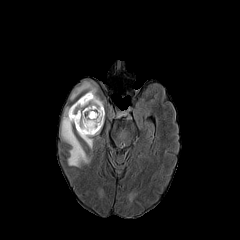
FLAIR MRI.
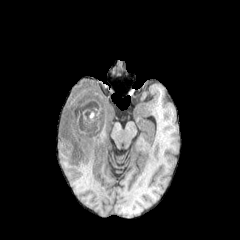
T1-weighted magnetic resonance.
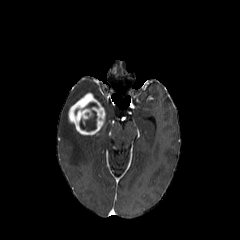
Post-contrast T1-weighted MR.
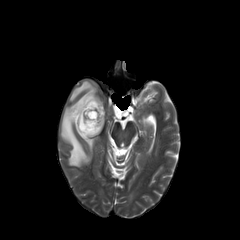
T2-weighted MR image of the same slice.
Head.
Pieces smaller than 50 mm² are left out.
peritumoral_edema:
  - bbox(61, 107, 91, 166)
  - bbox(70, 81, 103, 106)
  - bbox(78, 133, 95, 150)
enhancing_tumor:
  - bbox(68, 92, 105, 135)
necrotic_tumor_core:
  - bbox(80, 110, 97, 131)
  - bbox(83, 102, 98, 109)